Slice 81 of 155, Brain, 240x240
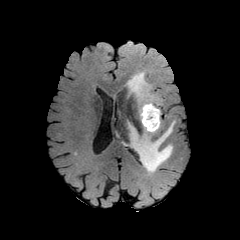
FLAIR magnetic resonance.
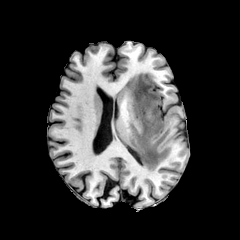
T1-weighted magnetic resonance.
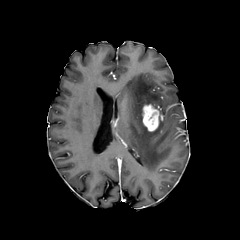
Same slice, post-contrast T1-weighted MRI.
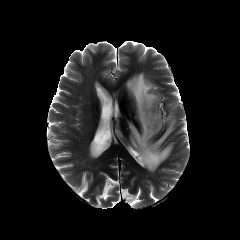
T2-weighted MR.
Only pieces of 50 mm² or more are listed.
{"peritumoral_edema": ["box=[126, 72, 175, 172]"], "enhancing_tumor": ["box=[142, 104, 160, 131]"]}